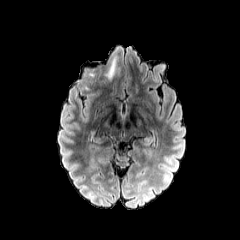
FLAIR MR.
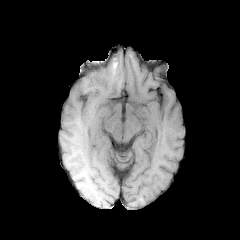
T1-weighted MR image of the same slice.
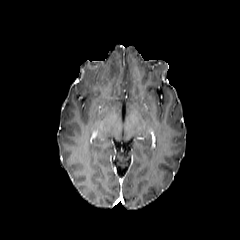
Post-contrast T1-weighted MR.
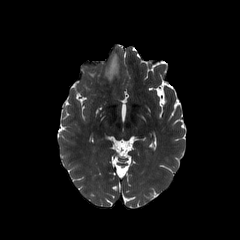
T2-weighted MRI of the same slice.
Brain
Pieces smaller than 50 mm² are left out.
peritumoral_edema:
  - (106, 58, 117, 79)